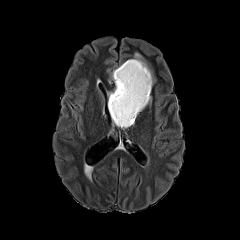
FLAIR MR.
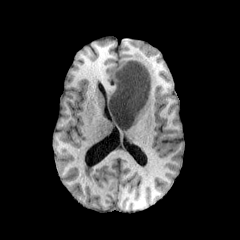
Same slice, T1-weighted magnetic resonance.
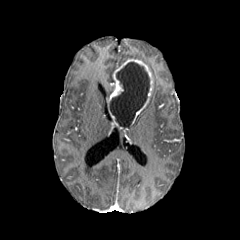
Same slice, post-contrast T1-weighted MR.
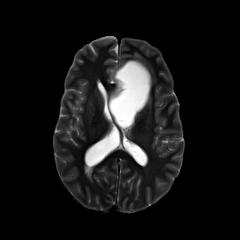
T2-weighted magnetic resonance.
Brain. Axial slice.
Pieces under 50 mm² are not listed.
The largest peritumoral edema region is located at bbox=[131, 53, 147, 65]. The largest enhancing tumor region is at bbox=[108, 59, 153, 124]. The necrotic tumor core lies within bbox=[108, 62, 149, 127].